Slice 77 of 155. Image width 240 mm.
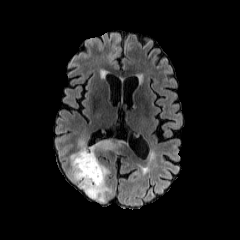
FLAIR MRI.
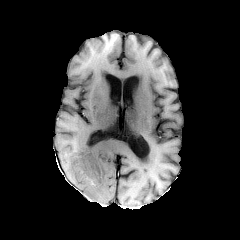
T1-weighted MR image.
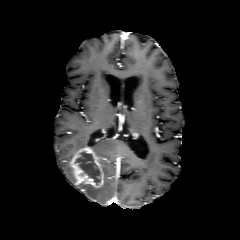
Post-contrast T1-weighted magnetic resonance.
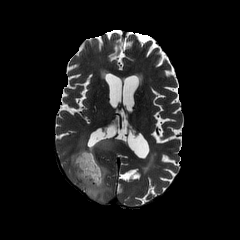
T2-weighted magnetic resonance.
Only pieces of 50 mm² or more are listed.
The necrotic tumor core appears at x1=75 y1=152 x2=100 y2=184. The 4 largest peritumoral edema regions are bounded by x1=67 y1=165 x2=75 y2=183, x1=78 y1=140 x2=86 y2=148, x1=77 y1=164 x2=111 y2=202, x1=89 y1=139 x2=123 y2=152. The largest enhancing tumor region lies within x1=70 y1=147 x2=103 y2=187.